Head | Slice 53 of 155
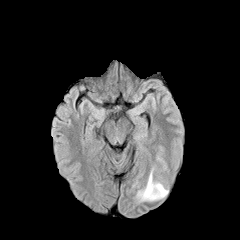
FLAIR MRI.
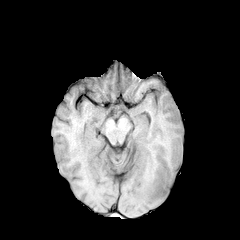
Same slice, T1-weighted magnetic resonance.
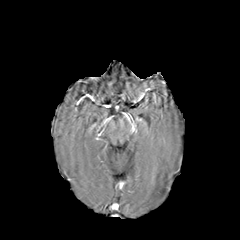
Post-contrast T1-weighted MR image.
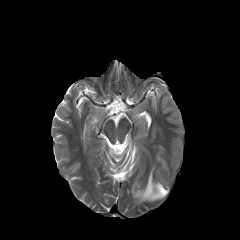
Same slice, T2-weighted magnetic resonance.
peritumoral_edema:
  - <bbox>137, 170, 167, 203</bbox>